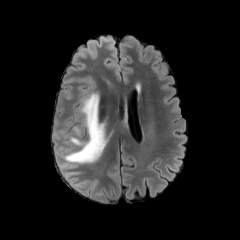
FLAIR MR.
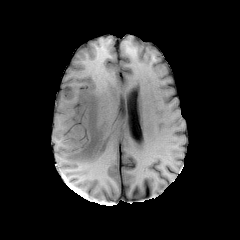
T1-weighted MR image.
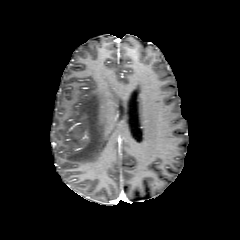
Post-contrast T1-weighted magnetic resonance of the same slice.
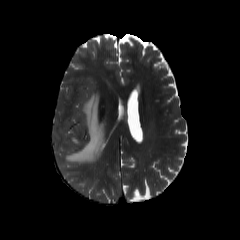
Same slice, T2-weighted MR image.
Axial plane, Head
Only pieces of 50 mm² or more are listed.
<segmentation>
  <peritumoral_edema>box(63, 92, 105, 164)</peritumoral_edema>
</segmentation>